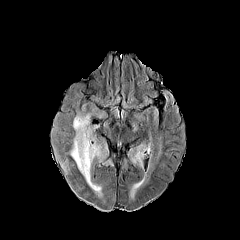
FLAIR MR image.
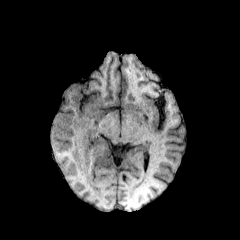
T1-weighted magnetic resonance.
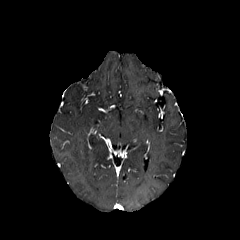
Same slice, post-contrast T1-weighted MR image.
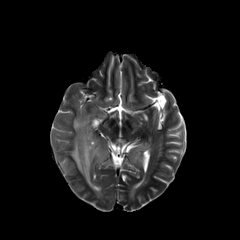
T2-weighted MR.
Axial view, Brain
peritumoral edema — (54, 114, 106, 195), (132, 151, 142, 164)